FLAIR magnetic resonance.
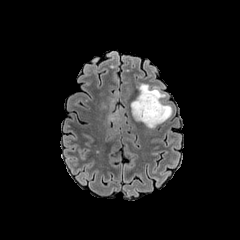
T1-weighted MR image.
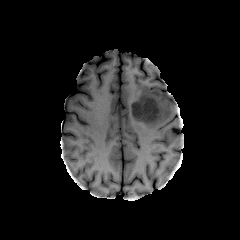
Post-contrast T1-weighted MR.
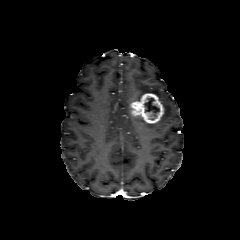
T2-weighted magnetic resonance.
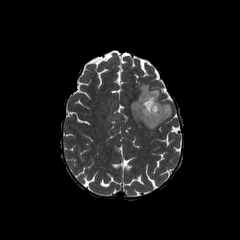
Head
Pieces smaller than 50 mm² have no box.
necrotic tumor core: bbox=[144, 97, 159, 117] | peritumoral edema: bbox=[135, 83, 164, 101]; bbox=[133, 103, 172, 127] | enhancing tumor: bbox=[130, 93, 164, 123]